Image size 240x240, Slice index 33
FLAIR MR.
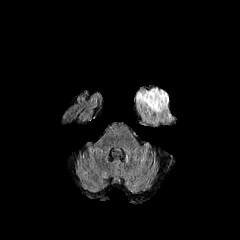
T1-weighted magnetic resonance.
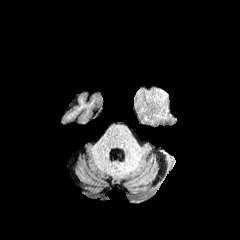
Post-contrast T1-weighted MRI.
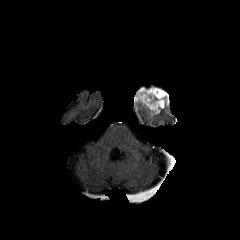
T2-weighted MRI.
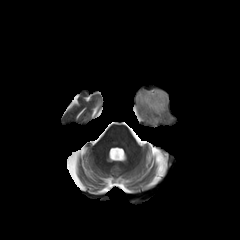
<segmentation>
  <enhancing_tumor>[134, 87, 169, 117]</enhancing_tumor>
  <peritumoral_edema>[136, 103, 172, 124]</peritumoral_edema>
</segmentation>